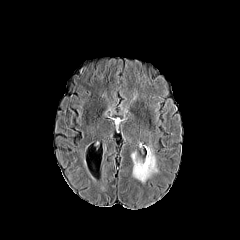
FLAIR magnetic resonance.
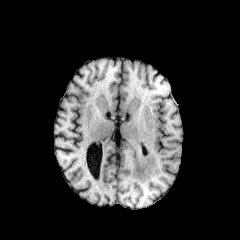
T1-weighted MRI.
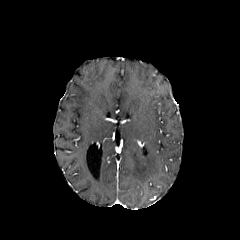
Post-contrast T1-weighted MR.
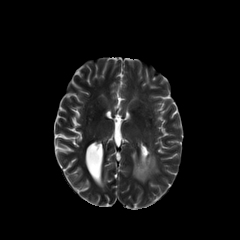
Same slice, T2-weighted MR image.
peritumoral edema at box(131, 148, 158, 182)